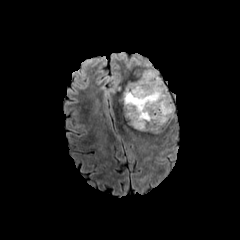
FLAIR magnetic resonance.
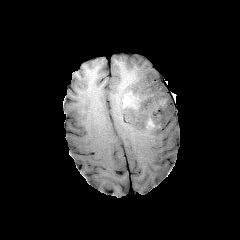
T1-weighted magnetic resonance of the same slice.
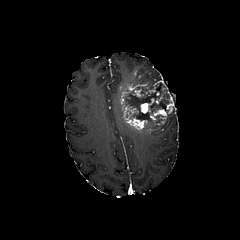
Post-contrast T1-weighted MR image of the same slice.
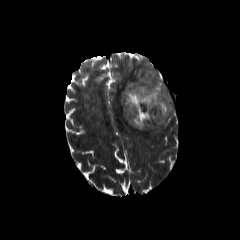
T2-weighted MRI of the same slice.
Axial view
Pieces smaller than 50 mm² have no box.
The largest necrotic tumor core region is bounded by 124:77:174:127. The largest peritumoral edema region appears at 141:68:159:80. The 3 largest enhancing tumor regions are bounded by 148:78:173:113, 141:98:154:113, 120:70:173:132.